FLAIR MR image.
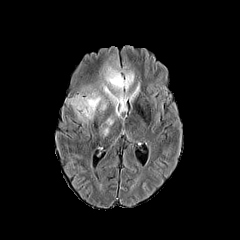
T1-weighted magnetic resonance.
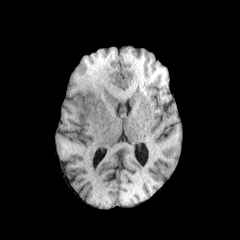
Post-contrast T1-weighted MR image.
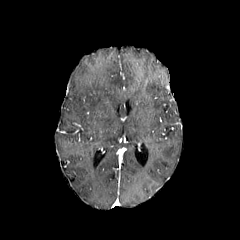
T2-weighted magnetic resonance.
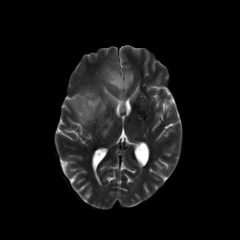
Image size 240x240, Axial slice, Brain
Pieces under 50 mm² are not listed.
peritumoral edema: (x1=103, y1=67, x2=139, y2=111), (x1=71, y1=93, x2=102, y2=120)